FLAIR MRI.
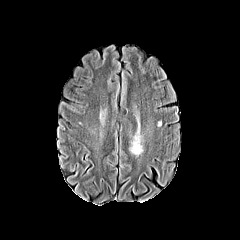
T1-weighted MRI.
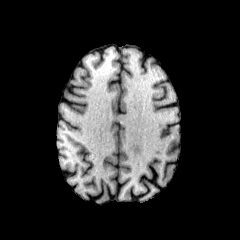
Post-contrast T1-weighted MR.
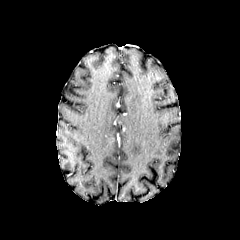
T2-weighted MRI.
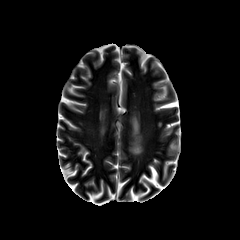
Axial plane
Segmented structures:
- peritumoral edema: {"x1": 130, "y1": 131, "x2": 142, "y2": 154}